FLAIR MR.
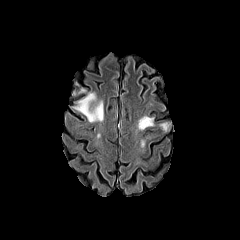
T1-weighted MRI.
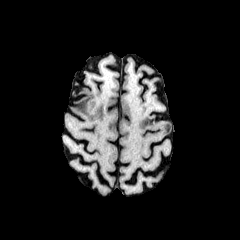
Post-contrast T1-weighted MR.
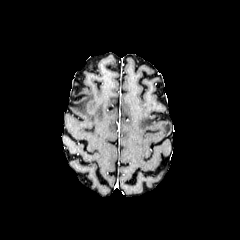
T2-weighted magnetic resonance.
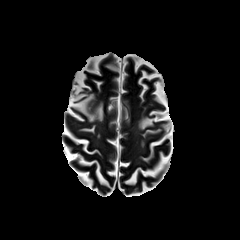
Head.
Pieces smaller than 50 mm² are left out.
Findings:
- peritumoral edema: {"x1": 72, "y1": 86, "x2": 103, "y2": 122}, {"x1": 159, "y1": 121, "x2": 171, "y2": 132}, {"x1": 137, "y1": 115, "x2": 155, "y2": 130}, {"x1": 140, "y1": 138, "x2": 145, "y2": 147}